Brain | Image covers 240 mm x 240 mm | 240x240 px | Slice 40 of 155
FLAIR magnetic resonance.
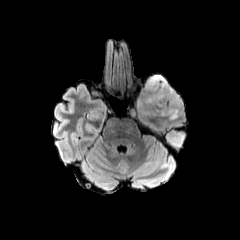
T1-weighted MR image.
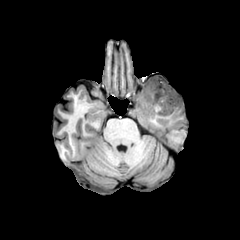
Post-contrast T1-weighted MRI.
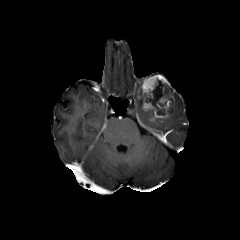
T2-weighted magnetic resonance.
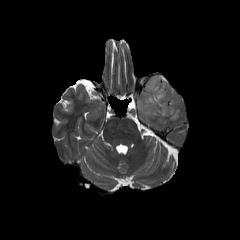
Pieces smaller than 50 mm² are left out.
enhancing tumor: (left=139, top=74, right=174, bottom=118)
peritumoral edema: (left=169, top=92, right=182, bottom=119), (left=137, top=97, right=149, bottom=113)
necrotic tumor core: (left=145, top=80, right=169, bottom=115)